Axial view | Brain
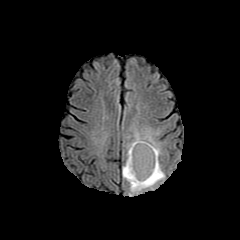
FLAIR MRI.
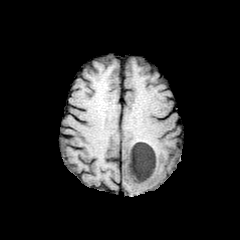
T1-weighted MRI.
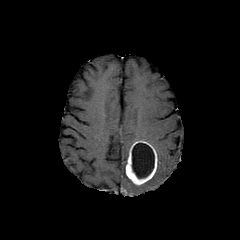
Same slice, post-contrast T1-weighted MRI.
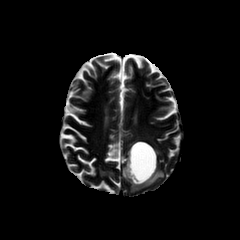
T2-weighted MR image of the same slice.
enhancing tumor = (x1=125, y1=140, x2=157, y2=185)
peritumoral edema = (x1=122, y1=128, x2=164, y2=193)
necrotic tumor core = (x1=132, y1=143, x2=154, y2=178)